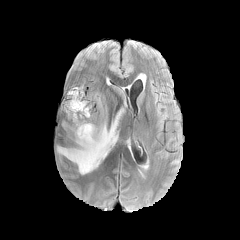
FLAIR magnetic resonance.
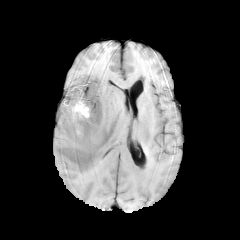
T1-weighted MR image of the same slice.
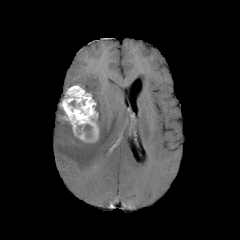
Same slice, post-contrast T1-weighted magnetic resonance.
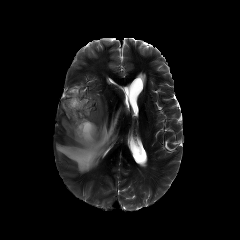
T2-weighted MR.
Head
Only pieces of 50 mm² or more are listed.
necrotic tumor core: [84,124,91,137] | enhancing tumor: [61,85,99,142] | peritumoral edema: [56,110,121,174], [93,94,102,108]